FLAIR MR.
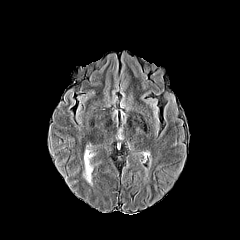
T1-weighted magnetic resonance.
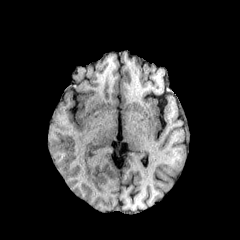
Post-contrast T1-weighted MR.
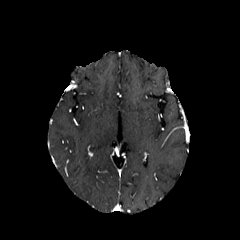
T2-weighted MR image.
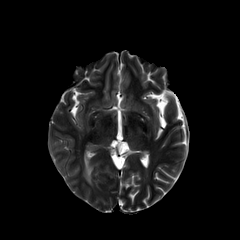
240x240 px
Findings:
* peritumoral edema: region(84, 151, 92, 182)